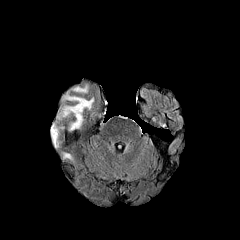
FLAIR MR.
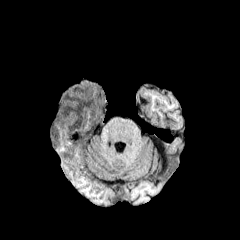
T1-weighted MR image of the same slice.
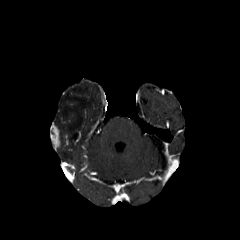
Post-contrast T1-weighted MR.
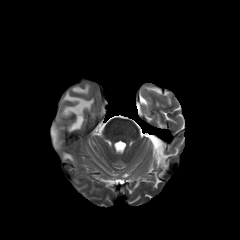
Same slice, T2-weighted MRI.
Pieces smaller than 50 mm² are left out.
The enhancing tumor is located at (51,123,60,150). The 3 largest peritumoral edema regions appear at (61,93,93,130), (62,153,72,159), (72,85,87,93).